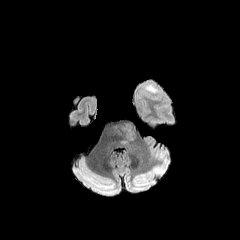
FLAIR MRI.
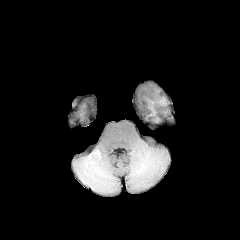
T1-weighted MRI.
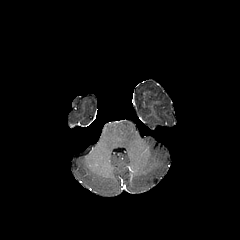
Post-contrast T1-weighted MR image of the same slice.
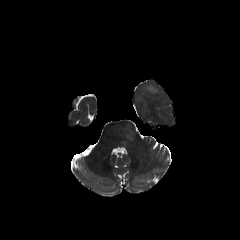
T2-weighted magnetic resonance.
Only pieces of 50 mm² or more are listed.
Annotated regions:
* peritumoral edema: [x1=121, y1=123, x2=134, y2=139]